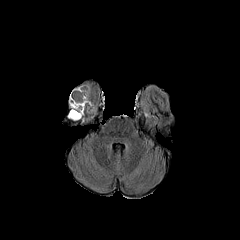
FLAIR MRI.
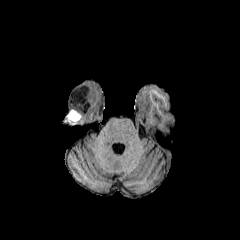
Same slice, T1-weighted MR image.
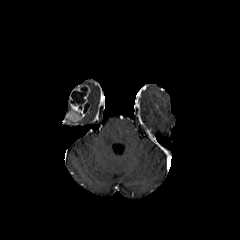
Same slice, post-contrast T1-weighted MRI.
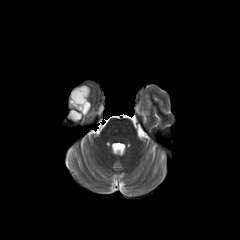
T2-weighted MRI.
Axial view | Image size 240x240
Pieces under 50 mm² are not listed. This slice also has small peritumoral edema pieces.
The enhancing tumor is bounded by (x1=69, y1=85, x2=90, y2=120). The largest necrotic tumor core region is at (x1=70, y1=86, x2=87, y2=109).